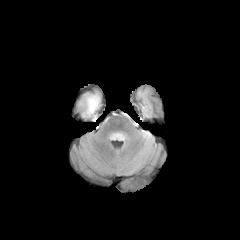
FLAIR magnetic resonance.
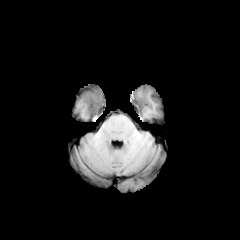
T1-weighted magnetic resonance.
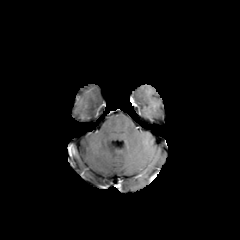
Post-contrast T1-weighted MR.
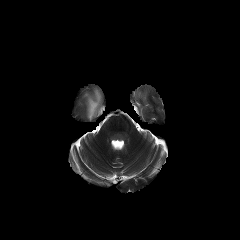
Same slice, T2-weighted MRI.
Image size 240x240, Brain, Axial slice
peritumoral edema: <bbox>81, 92, 100, 118</bbox> | necrotic tumor core: <bbox>89, 101, 97, 115</bbox>